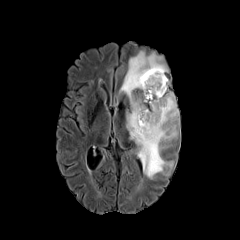
FLAIR MR.
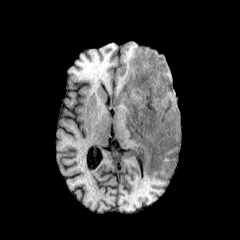
T1-weighted MR image of the same slice.
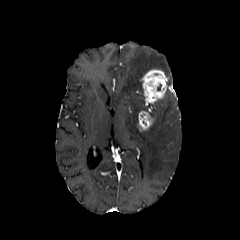
Same slice, post-contrast T1-weighted MR.
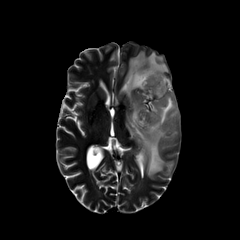
T2-weighted MR image of the same slice.
Axial view
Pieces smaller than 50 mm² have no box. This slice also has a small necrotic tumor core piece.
2 enhancing tumor regions are bounded by [138,109,154,131], [140,69,167,103]. The largest peritumoral edema region is located at [120,51,178,178].